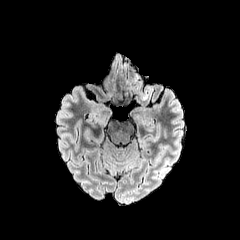
FLAIR magnetic resonance.
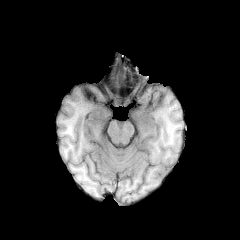
T1-weighted MR of the same slice.
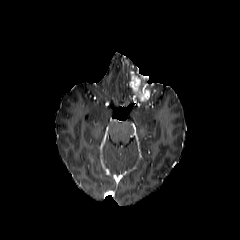
Post-contrast T1-weighted MR image.
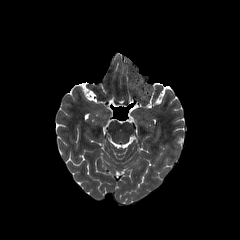
T2-weighted MR.
Axial slice | Brain | 240x240
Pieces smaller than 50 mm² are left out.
The largest peritumoral edema region appears at bbox=[132, 74, 151, 95]. The enhancing tumor lies within bbox=[130, 76, 149, 101].